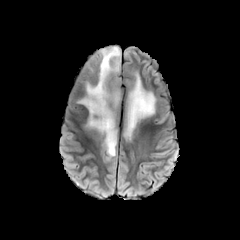
FLAIR MRI.
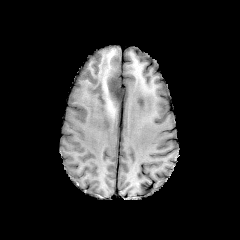
T1-weighted MRI.
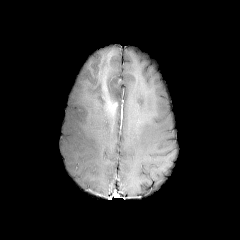
Post-contrast T1-weighted MR image.
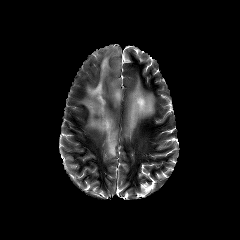
Same slice, T2-weighted magnetic resonance.
Image size 240x240; Axial slice; Brain
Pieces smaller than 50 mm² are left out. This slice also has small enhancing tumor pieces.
{"peritumoral_edema": ["left=78, top=46, right=121, bottom=160", "left=124, top=74, right=155, bottom=142"]}